FLAIR MR image.
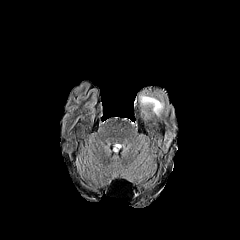
T1-weighted MRI.
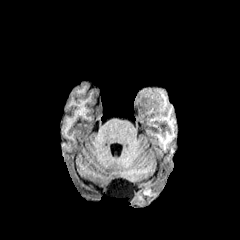
Post-contrast T1-weighted magnetic resonance.
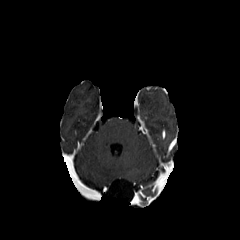
T2-weighted magnetic resonance.
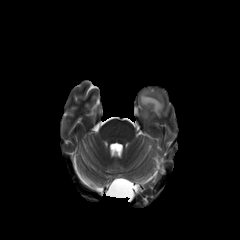
Head
The peritumoral edema appears at region(139, 91, 164, 116).